Image size 240x240. Slice 117 of 155.
FLAIR MRI.
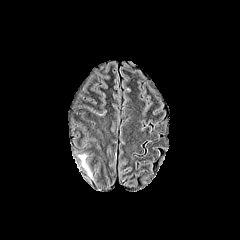
T1-weighted MR image.
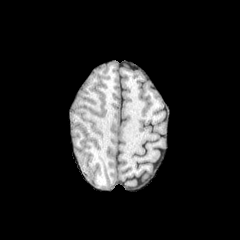
Post-contrast T1-weighted MR.
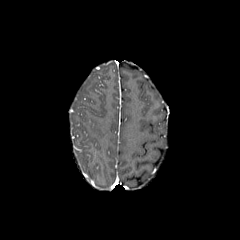
T2-weighted MRI.
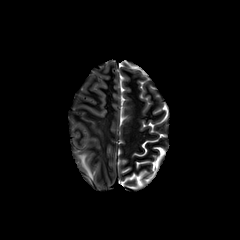
<segmentation>
  <peritumoral_edema>80,155,91,176</peritumoral_edema>
</segmentation>